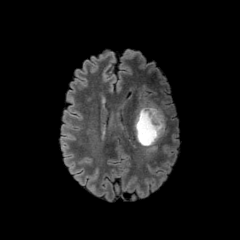
FLAIR MR image.
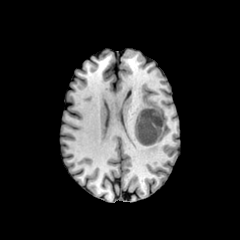
T1-weighted MRI.
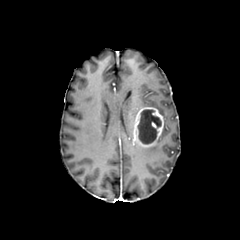
Post-contrast T1-weighted magnetic resonance of the same slice.
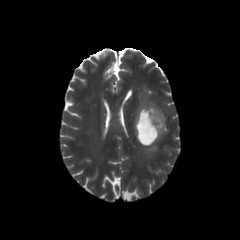
T2-weighted MR.
Axial plane | 240x240 px
necrotic_tumor_core:
  - (138,109,161,144)
enhancing_tumor:
  - (134,107,163,146)
peritumoral_edema:
  - (147,144,156,151)
  - (136,89,165,138)